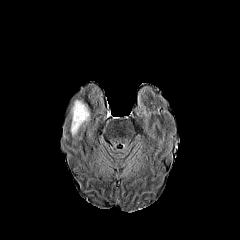
FLAIR MR.
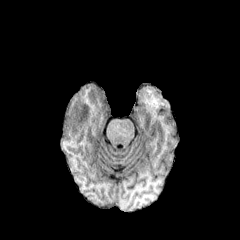
Same slice, T1-weighted magnetic resonance.
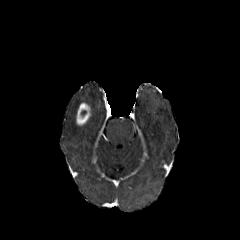
Post-contrast T1-weighted magnetic resonance.
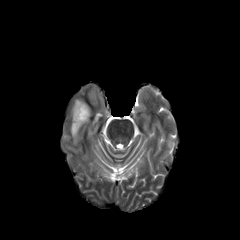
T2-weighted magnetic resonance.
Brain.
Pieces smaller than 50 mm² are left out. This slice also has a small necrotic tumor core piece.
The peritumoral edema lies within bbox=[71, 100, 81, 137]. The enhancing tumor is located at bbox=[76, 102, 90, 125].